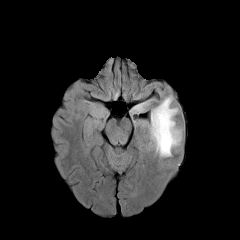
FLAIR magnetic resonance.
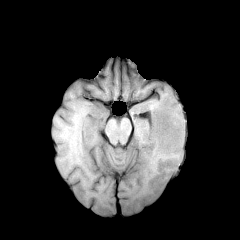
T1-weighted MR image.
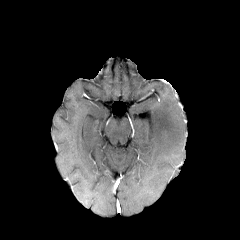
Post-contrast T1-weighted magnetic resonance.
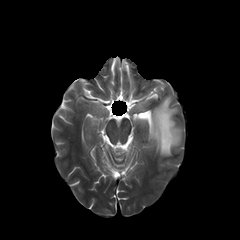
Same slice, T2-weighted magnetic resonance.
Brain | Image size 240x240
Segmented structures:
* peritumoral edema: <box>148,96,181,156</box>, <box>130,99,150,113</box>